Slice 93/155 | 240x240
FLAIR MR image.
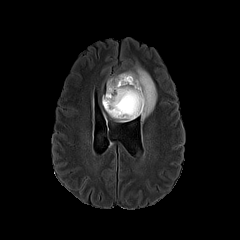
T1-weighted magnetic resonance.
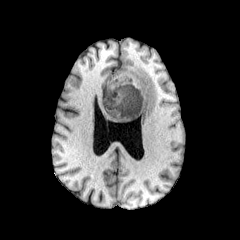
Post-contrast T1-weighted MRI.
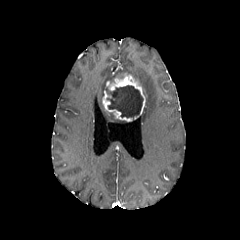
T2-weighted magnetic resonance.
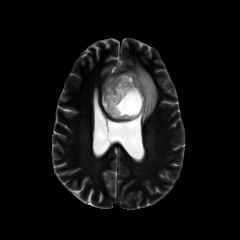
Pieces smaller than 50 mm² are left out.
peritumoral_edema:
  - region(107, 73, 124, 83)
  - region(125, 65, 156, 122)
necrotic_tumor_core:
  - region(106, 85, 143, 117)
enhancing_tumor:
  - region(102, 73, 145, 122)